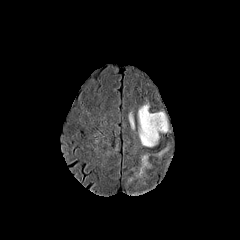
FLAIR MR.
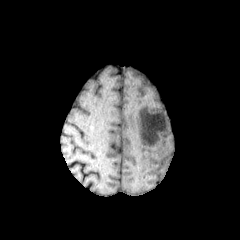
Same slice, T1-weighted MR.
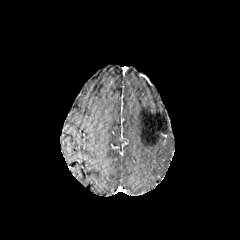
Post-contrast T1-weighted magnetic resonance.
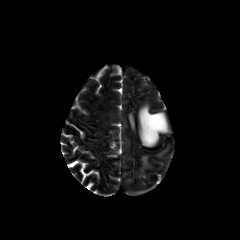
T2-weighted MRI.
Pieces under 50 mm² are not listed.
The 3 largest peritumoral edema regions appear at {"x1": 129, "y1": 111, "x2": 134, "y2": 129}, {"x1": 138, "y1": 102, "x2": 170, "y2": 147}, {"x1": 130, "y1": 152, "x2": 153, "y2": 181}.